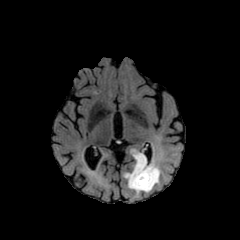
FLAIR MRI.
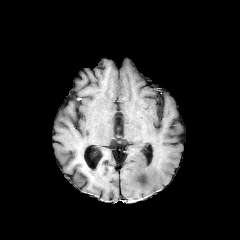
T1-weighted MR image.
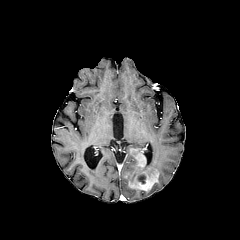
Post-contrast T1-weighted magnetic resonance.
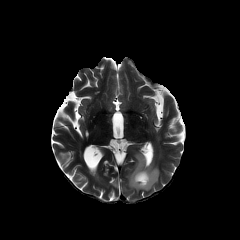
T2-weighted MR image of the same slice.
Axial plane, Brain
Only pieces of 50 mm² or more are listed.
peritumoral_edema:
  - (124, 149, 160, 195)
necrotic_tumor_core:
  - (137, 174, 146, 183)
enhancing_tumor:
  - (129, 153, 158, 190)